FLAIR magnetic resonance.
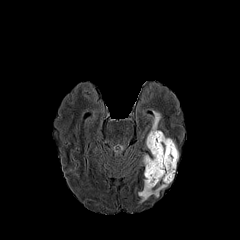
T1-weighted magnetic resonance.
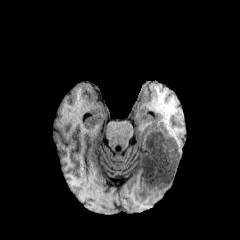
Post-contrast T1-weighted MRI.
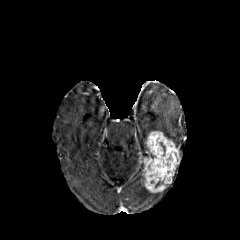
T2-weighted magnetic resonance.
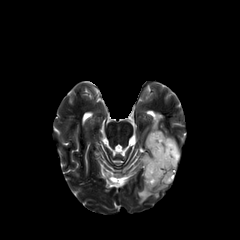
Image size 240x240
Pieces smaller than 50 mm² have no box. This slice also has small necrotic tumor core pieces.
<segmentation>
  <enhancing_tumor>[141,131,179,192]</enhancing_tumor>
  <peritumoral_edema>[138,186,159,203], [150,111,162,131]</peritumoral_edema>
</segmentation>